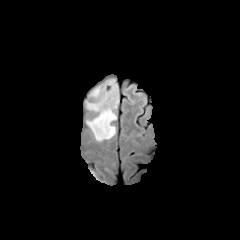
FLAIR MR image.
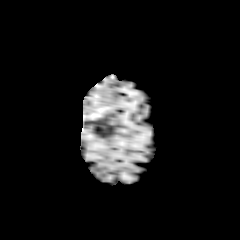
T1-weighted MRI.
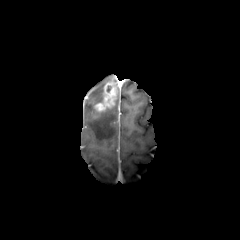
Post-contrast T1-weighted MRI of the same slice.
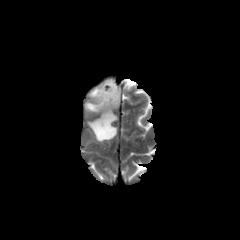
T2-weighted MRI.
Head, Axial slice
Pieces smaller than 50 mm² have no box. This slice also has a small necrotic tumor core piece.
The 2 largest peritumoral edema regions are bounded by [87,87,118,141], [87,85,103,111]. The enhancing tumor is located at [96,82,116,110].